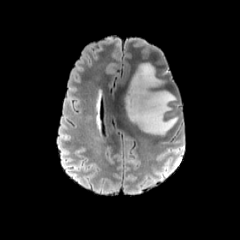
FLAIR MR image.
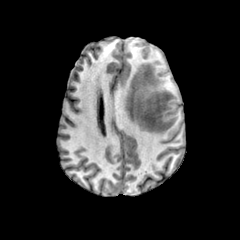
T1-weighted MRI.
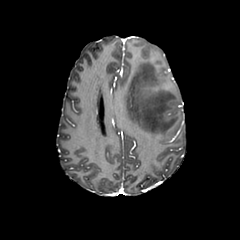
Post-contrast T1-weighted MR image.
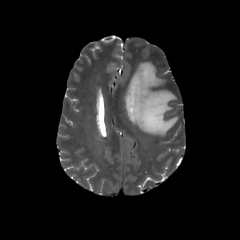
T2-weighted MR image of the same slice.
Head
Findings:
* peritumoral edema: (x1=125, y1=63, x2=177, y2=135)